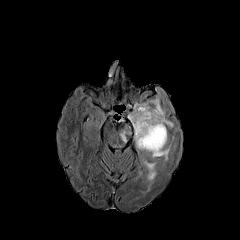
FLAIR MR image.
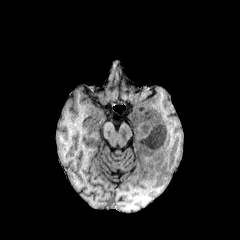
Same slice, T1-weighted MRI.
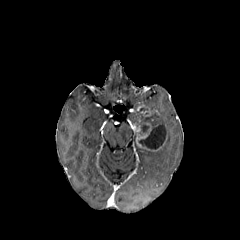
Post-contrast T1-weighted MR image.
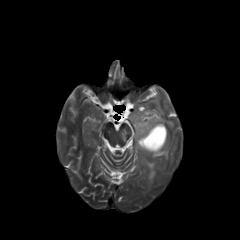
Same slice, T2-weighted MR.
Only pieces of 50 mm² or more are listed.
necrotic tumor core at bbox=[135, 107, 166, 149]
enhancing tumor at bbox=[133, 124, 162, 151]
peritumoral edema at bbox=[128, 103, 140, 125]; bbox=[142, 158, 157, 192]; bbox=[136, 141, 170, 160]; bbox=[120, 123, 131, 143]; bbox=[150, 97, 173, 127]